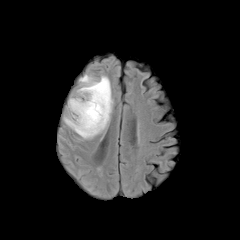
FLAIR magnetic resonance.
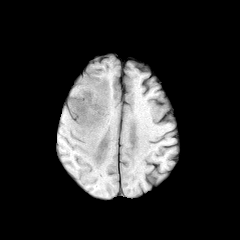
T1-weighted MRI of the same slice.
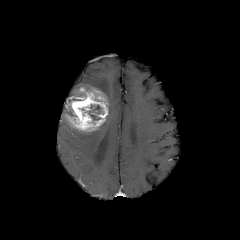
Post-contrast T1-weighted magnetic resonance.
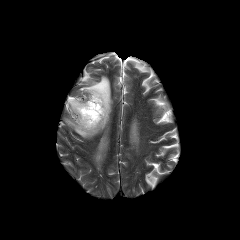
T2-weighted MR image.
Head | 240x240
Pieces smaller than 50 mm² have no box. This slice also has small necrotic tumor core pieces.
peritumoral edema = (left=64, top=74, right=113, bottom=139)
enhancing tumor = (left=66, top=87, right=108, bottom=132)